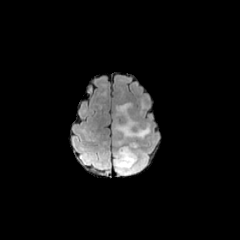
FLAIR magnetic resonance.
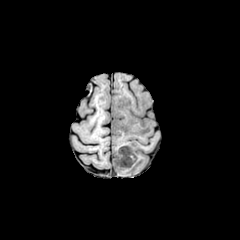
Same slice, T1-weighted MR image.
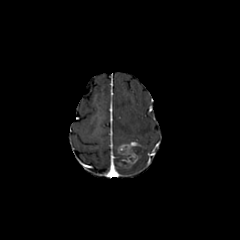
Post-contrast T1-weighted MR of the same slice.
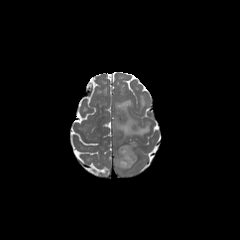
T2-weighted MR of the same slice.
Brain, Axial plane
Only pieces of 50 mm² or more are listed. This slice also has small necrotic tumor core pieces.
peritumoral edema at [x1=113, y1=146, x2=146, y2=174], [x1=114, y1=102, x2=150, y2=145]
enhancing tumor at [x1=117, y1=142, x2=139, y2=168]